Slice 74/155
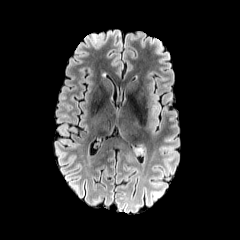
FLAIR MRI.
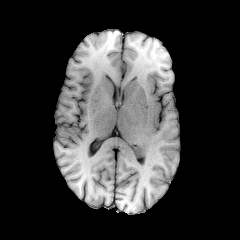
T1-weighted magnetic resonance of the same slice.
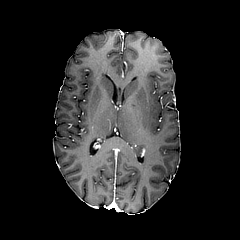
Same slice, post-contrast T1-weighted magnetic resonance.
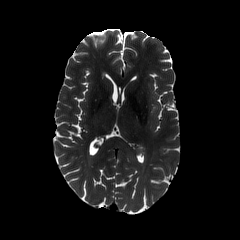
Same slice, T2-weighted magnetic resonance.
peritumoral edema at x1=134, y1=145, x2=144, y2=155